Brain | Image size 240x240
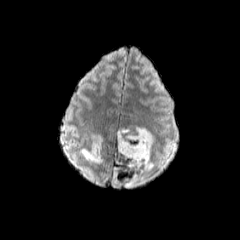
FLAIR MRI.
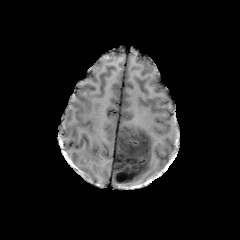
T1-weighted MR.
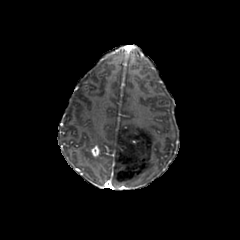
Post-contrast T1-weighted magnetic resonance.
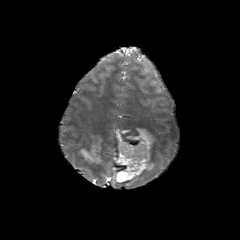
T2-weighted magnetic resonance of the same slice.
2 peritumoral edema regions appear at (81, 134, 102, 163), (112, 127, 154, 185). The enhancing tumor lies within (91, 144, 99, 157).